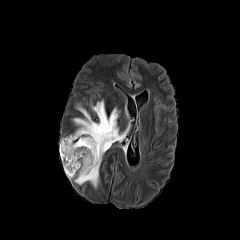
FLAIR MR.
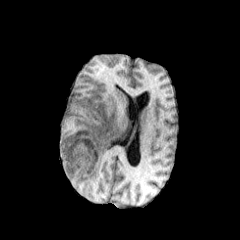
T1-weighted MRI.
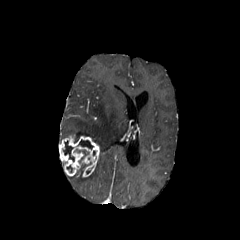
Post-contrast T1-weighted MR.
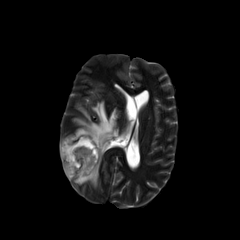
T2-weighted MR image.
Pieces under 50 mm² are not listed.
Findings:
* necrotic tumor core: (left=79, top=140, right=93, bottom=149), (left=63, top=141, right=74, bottom=161)
* enhancing tumor: (left=59, top=134, right=99, bottom=177)
* peritumoral edema: (left=72, top=98, right=131, bottom=187)